Axial view
FLAIR MRI.
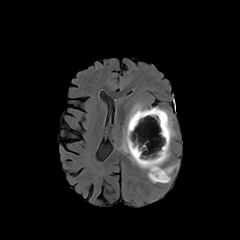
T1-weighted MR.
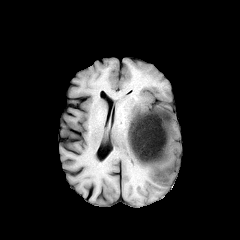
Post-contrast T1-weighted magnetic resonance.
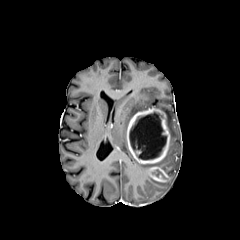
T2-weighted magnetic resonance.
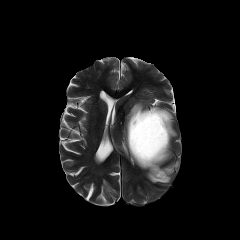
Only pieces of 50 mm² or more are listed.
peritumoral edema = x1=120, y1=102, x2=178, y2=183; x1=157, y1=107, x2=176, y2=166
enhancing tumor = x1=126, y1=108, x2=171, y2=182
necrotic tumor core = x1=129, y1=112, x2=166, y2=159